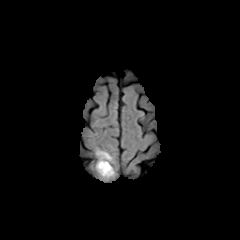
FLAIR MRI.
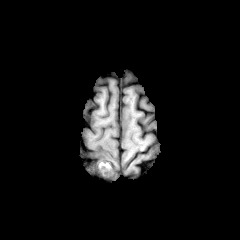
T1-weighted magnetic resonance.
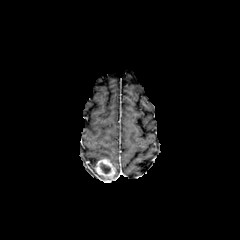
Post-contrast T1-weighted MR.
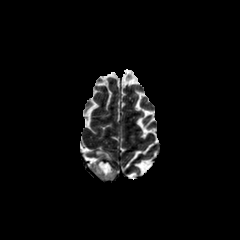
T2-weighted MRI of the same slice.
Axial view
<segmentation>
  <peritumoral_edema>96,150,112,160</peritumoral_edema>
  <enhancing_tumor>95,159,115,178</enhancing_tumor>
  <necrotic_tumor_core>100,163,110,173</necrotic_tumor_core>
</segmentation>